Head; 240x240
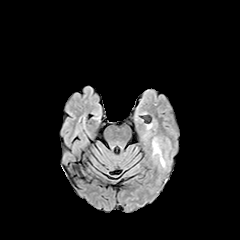
FLAIR MRI.
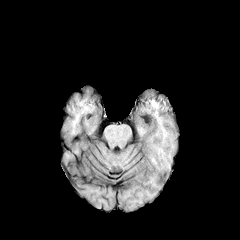
T1-weighted magnetic resonance.
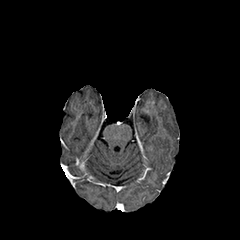
Same slice, post-contrast T1-weighted MR.
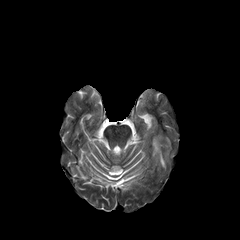
T2-weighted MRI.
Segmented structures:
* peritumoral edema: x1=152 y1=139 x2=164 y2=166